FLAIR MR image.
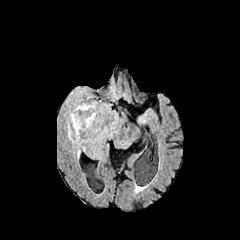
T1-weighted magnetic resonance.
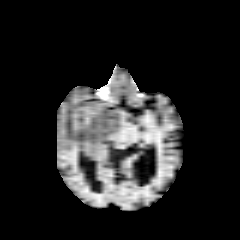
Post-contrast T1-weighted MRI.
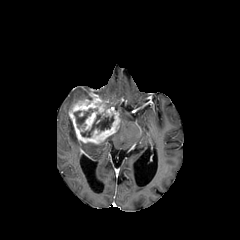
T2-weighted MRI.
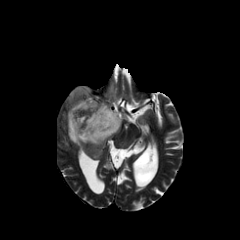
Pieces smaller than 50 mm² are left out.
{"peritumoral_edema": ["x1=75 y1=87 x2=86 y2=96", "x1=110 y1=82 x2=117 y2=100", "x1=67 y1=117 x2=81 y2=145"], "enhancing_tumor": ["x1=68 y1=94 x2=120 y2=144"], "necrotic_tumor_core": ["x1=74 y1=108 x2=92 y2=127", "x1=81 y1=114 x2=113 y2=137"]}